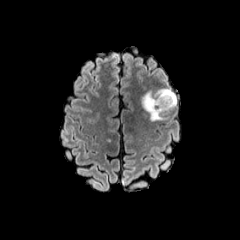
FLAIR MR image.
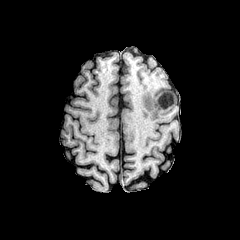
T1-weighted magnetic resonance of the same slice.
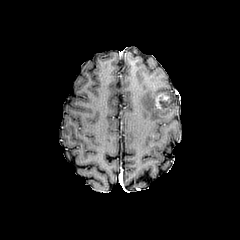
Post-contrast T1-weighted MR.
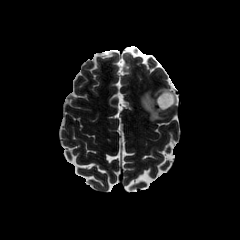
Same slice, T2-weighted MR.
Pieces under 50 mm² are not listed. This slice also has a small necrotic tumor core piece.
* peritumoral edema: (139,88,176,121)
* enhancing tumor: (153,92,173,111)